FLAIR MR.
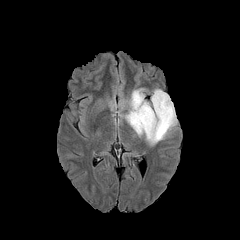
T1-weighted MR.
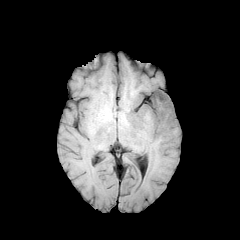
Post-contrast T1-weighted MR image.
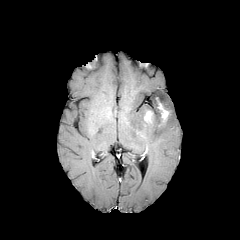
T2-weighted MR.
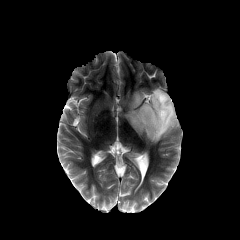
Brain | Axial view
Segmented structures:
* enhancing tumor: (left=156, top=97, right=169, bottom=122), (left=144, top=109, right=154, bottom=123)
* peritumoral edema: (left=125, top=88, right=177, bottom=144)